Slice 62 of 155.
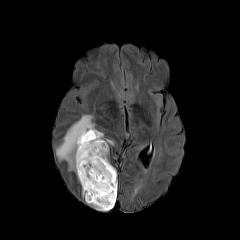
FLAIR MR.
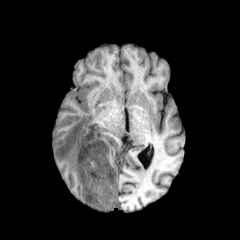
Same slice, T1-weighted magnetic resonance.
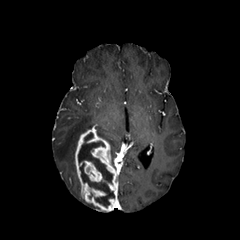
Same slice, post-contrast T1-weighted MR.
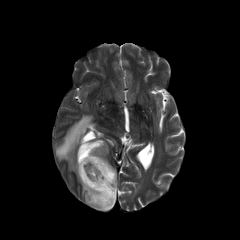
T2-weighted MRI of the same slice.
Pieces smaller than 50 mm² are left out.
peritumoral edema: x1=97, y1=130, x2=113, y2=145; x1=56, y1=115, x2=94, y2=173 | necrotic tumor core: x1=78, y1=132, x2=114, y2=207 | enhancing tumor: x1=75, y1=127, x2=118, y2=211